FLAIR MR.
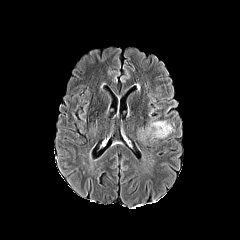
T1-weighted MR image.
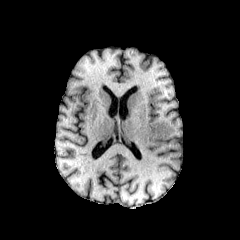
Post-contrast T1-weighted MR image.
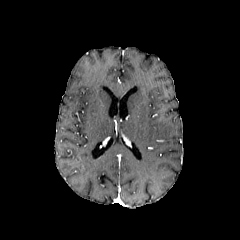
T2-weighted MRI.
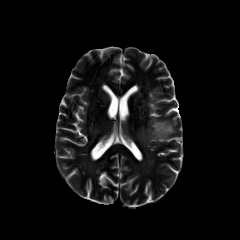
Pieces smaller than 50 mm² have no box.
<segmentation>
  <peritumoral_edema>151, 121, 172, 137</peritumoral_edema>
</segmentation>